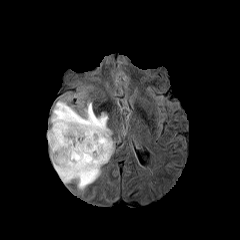
FLAIR MR.
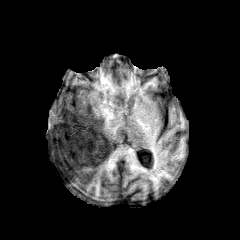
T1-weighted MR image of the same slice.
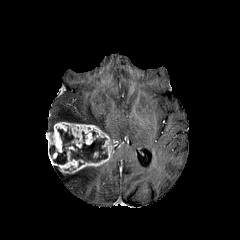
Post-contrast T1-weighted MRI of the same slice.
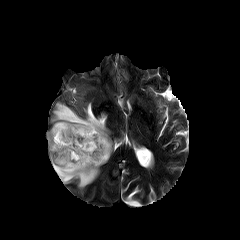
T2-weighted MRI.
Brain
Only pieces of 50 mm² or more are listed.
peritumoral edema: bbox(54, 165, 102, 190); bbox(48, 101, 112, 139)
enhancing tumor: bbox(47, 122, 113, 173)
necrotic tumor core: bbox(53, 128, 107, 164); bbox(49, 145, 55, 156)